Axial plane, Image width 240 mm, Image size 240x240
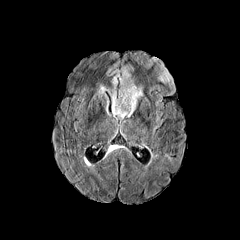
FLAIR MRI.
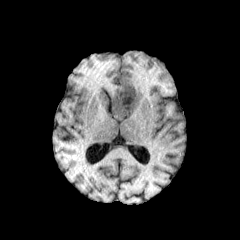
T1-weighted magnetic resonance.
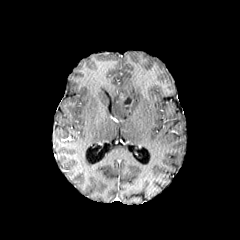
Same slice, post-contrast T1-weighted MRI.
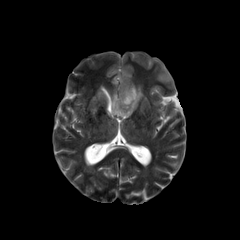
Same slice, T2-weighted MRI.
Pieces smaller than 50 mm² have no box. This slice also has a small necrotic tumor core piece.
The peritumoral edema lies within bbox(97, 67, 142, 118). The enhancing tumor lies within bbox(118, 90, 133, 107).